FLAIR MR image.
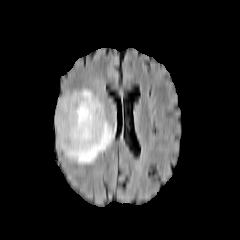
T1-weighted MR.
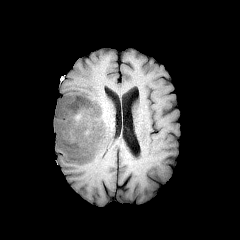
Post-contrast T1-weighted MR image.
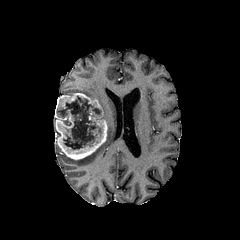
T2-weighted magnetic resonance.
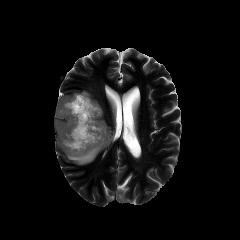
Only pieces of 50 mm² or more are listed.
<segmentation>
  <necrotic_tumor_core>rect(57, 96, 101, 149)</necrotic_tumor_core>
  <peritumoral_edema>rect(66, 89, 98, 101); rect(67, 122, 115, 164)</peritumoral_edema>
  <enhancing_tumor>rect(54, 93, 107, 159)</enhancing_tumor>
</segmentation>